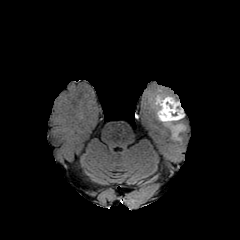
FLAIR magnetic resonance.
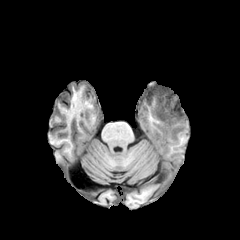
Same slice, T1-weighted magnetic resonance.
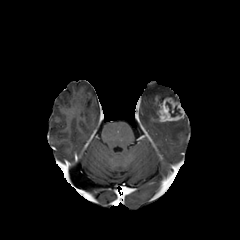
Post-contrast T1-weighted magnetic resonance.
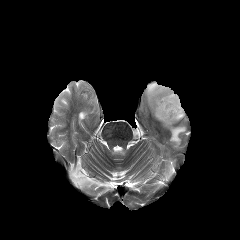
T2-weighted MR image.
Axial plane
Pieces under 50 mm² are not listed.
necrotic tumor core: box=[166, 102, 181, 116] | peritumoral edema: box=[162, 122, 185, 140]; box=[148, 87, 179, 113] | enhancing tumor: box=[157, 97, 184, 121]